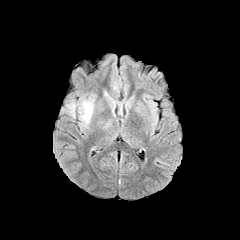
FLAIR MR.
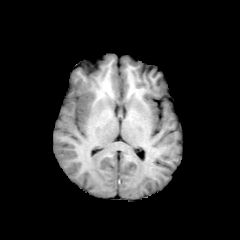
T1-weighted MR.
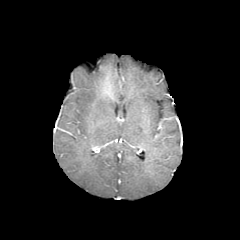
Same slice, post-contrast T1-weighted MRI.
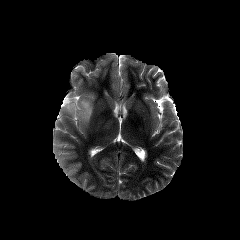
T2-weighted MR image of the same slice.
Axial view
{
  "peritumoral_edema": [
    "region(67, 100, 93, 124)"
  ]
}